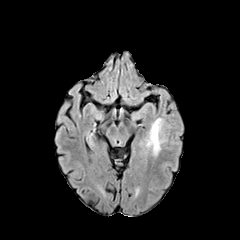
FLAIR MRI.
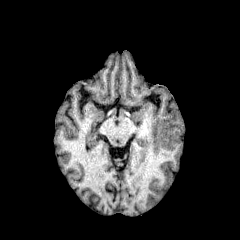
T1-weighted MR of the same slice.
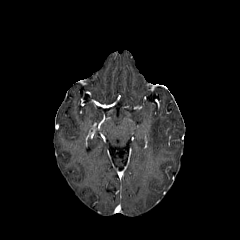
Post-contrast T1-weighted magnetic resonance.
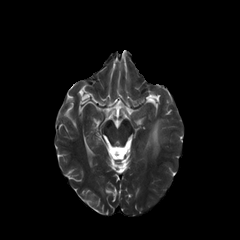
T2-weighted magnetic resonance.
Head | Axial view
Findings:
- peritumoral edema: [x1=147, y1=118, x2=163, y2=155]